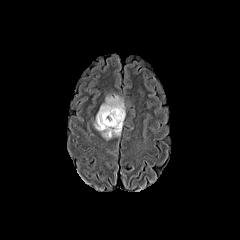
FLAIR MRI.
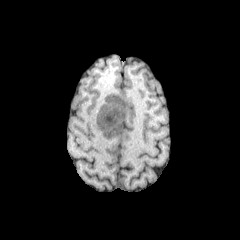
T1-weighted MR image.
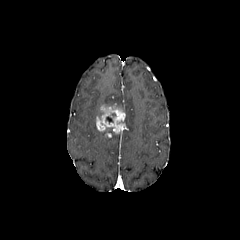
Same slice, post-contrast T1-weighted MR.
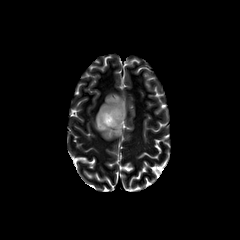
T2-weighted MR of the same slice.
Head. Axial view.
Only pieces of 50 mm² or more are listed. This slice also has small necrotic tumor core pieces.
{
  "peritumoral_edema": [
    "l=102, t=94, r=125, b=112"
  ],
  "enhancing_tumor": [
    "l=96, t=103, r=125, b=137"
  ]
}